240x240 px | Image width 240 mm, 1.00 mm slice spacing | Axial plane | Brain
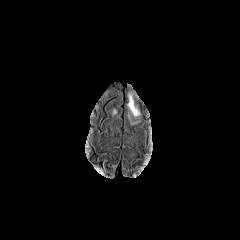
FLAIR MRI.
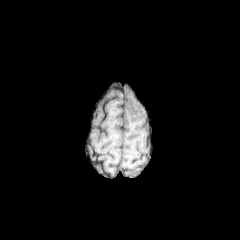
T1-weighted MR image.
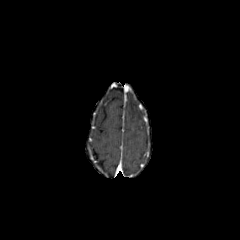
Post-contrast T1-weighted magnetic resonance.
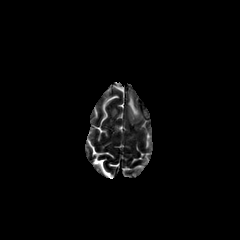
T2-weighted MR.
peritumoral_edema:
  - region(127, 93, 140, 124)